Axial plane.
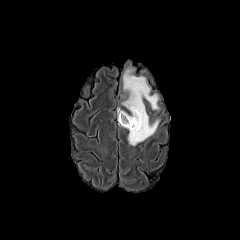
FLAIR magnetic resonance.
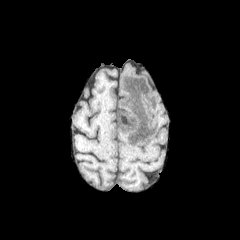
T1-weighted MR.
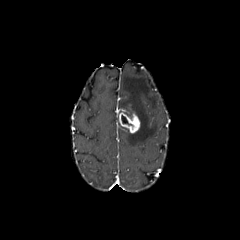
Post-contrast T1-weighted magnetic resonance of the same slice.
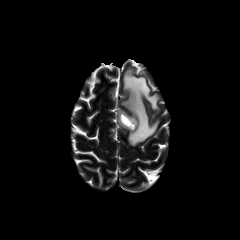
T2-weighted MR.
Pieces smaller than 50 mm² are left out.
The necrotic tumor core appears at bbox=[121, 115, 132, 125]. The enhancing tumor lies within bbox=[119, 111, 140, 133]. The largest peritumoral edema region lies within bbox=[122, 64, 160, 145].